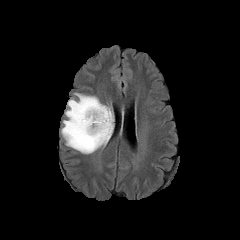
FLAIR MR.
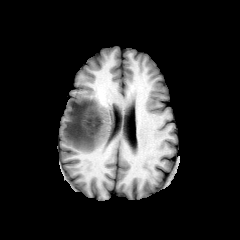
Same slice, T1-weighted MRI.
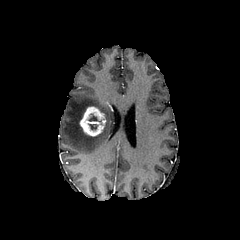
Post-contrast T1-weighted MR image of the same slice.
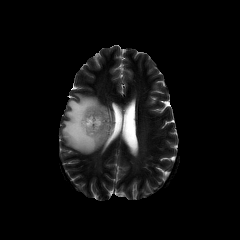
T2-weighted MR image of the same slice.
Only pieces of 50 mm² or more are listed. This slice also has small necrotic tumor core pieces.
peritumoral edema — box=[61, 93, 113, 153]
enhancing tumor — box=[79, 106, 106, 136]